FLAIR MR image.
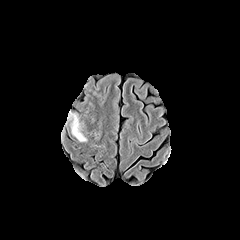
T1-weighted magnetic resonance.
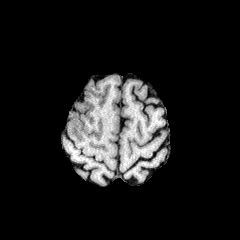
Post-contrast T1-weighted MRI.
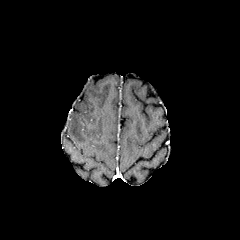
T2-weighted MR.
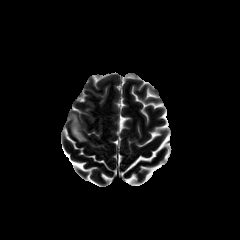
Axial view, Head
peritumoral edema: [x1=71, y1=114, x2=86, y2=141]